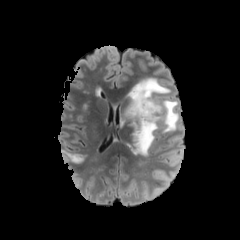
FLAIR MRI.
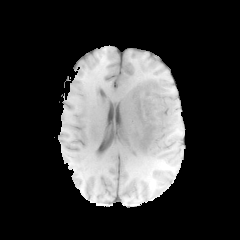
T1-weighted MR image.
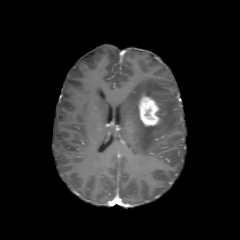
Same slice, post-contrast T1-weighted MR image.
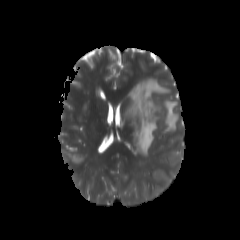
Same slice, T2-weighted MR image.
Head | Axial plane | 240x240
peritumoral_edema:
  - <bbox>125, 78, 178, 156</bbox>
enhancing_tumor:
  - <bbox>138, 93, 159, 126</bbox>